FLAIR MR image.
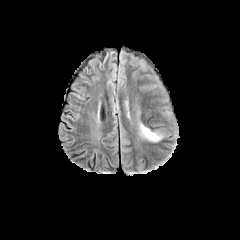
T1-weighted MR image.
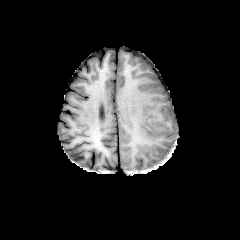
Post-contrast T1-weighted MRI.
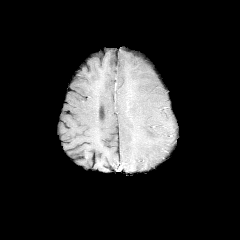
T2-weighted magnetic resonance.
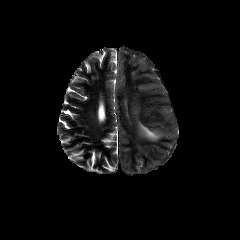
Brain | Axial slice
The peritumoral edema lies within [139, 123, 161, 141].